FLAIR MRI.
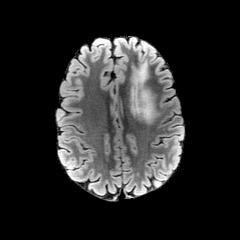
T1-weighted MR.
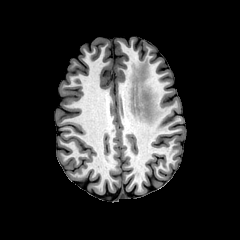
Post-contrast T1-weighted MRI.
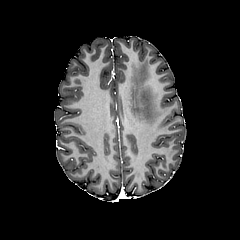
T2-weighted magnetic resonance.
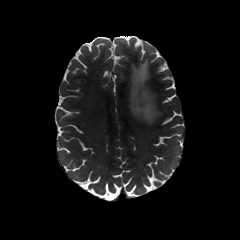
Head
{"peritumoral_edema": ["l=129, t=63, r=157, b=123"]}